Brain, Image covers 240 mm x 240 mm, Slice 109/155
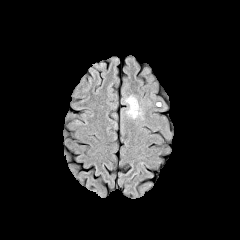
FLAIR MRI.
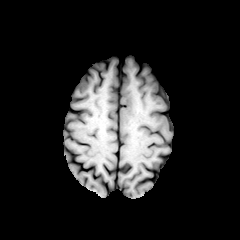
Same slice, T1-weighted magnetic resonance.
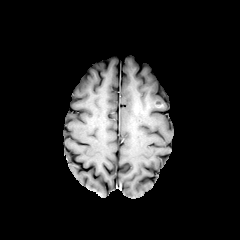
Post-contrast T1-weighted MR image of the same slice.
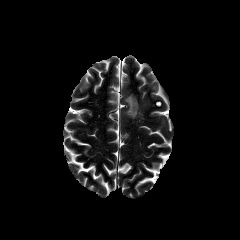
T2-weighted MR of the same slice.
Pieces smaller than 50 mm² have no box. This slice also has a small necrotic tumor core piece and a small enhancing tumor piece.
peritumoral_edema:
  - [125, 95, 141, 118]